Head. Image covers 240 mm x 240 mm. Image size 240x240. Slice index 92.
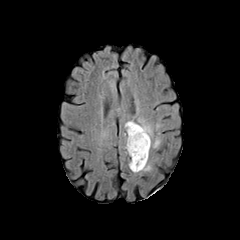
FLAIR MR.
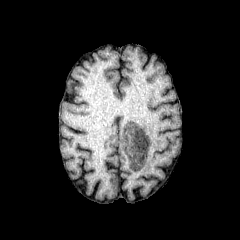
Same slice, T1-weighted magnetic resonance.
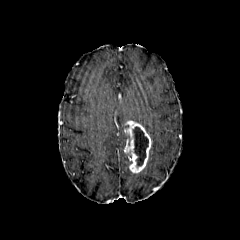
Same slice, post-contrast T1-weighted MR image.
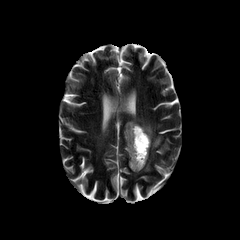
T2-weighted magnetic resonance.
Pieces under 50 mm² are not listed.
The enhancing tumor appears at <bbox>124, 120, 151, 173</bbox>. The 2 largest peritumoral edema regions are bounded by <bbox>141, 162, 151, 171</bbox>, <bbox>137, 118, 160, 148</bbox>. The largest necrotic tumor core region appears at <bbox>133, 127, 148, 166</bbox>.